FLAIR magnetic resonance.
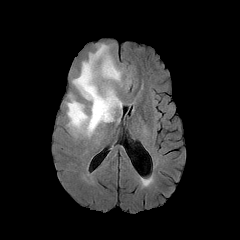
T1-weighted MR.
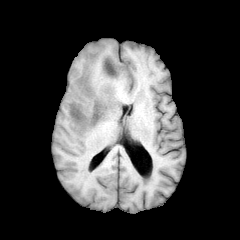
Post-contrast T1-weighted MRI.
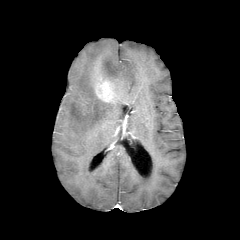
T2-weighted magnetic resonance.
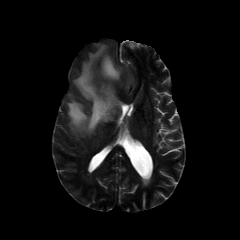
240x240 px | Axial view | Brain
enhancing tumor: (x1=95, y1=78, x2=115, y2=102) | peritumoral edema: (x1=66, y1=44, x2=122, y2=137)